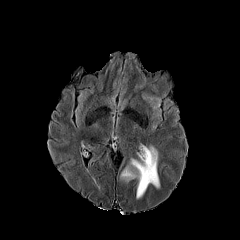
FLAIR MR image.
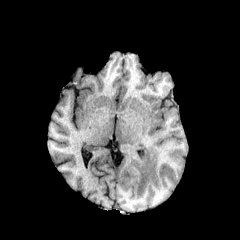
T1-weighted MR image of the same slice.
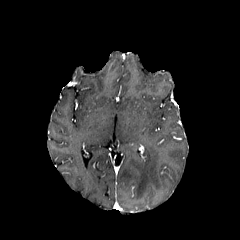
Post-contrast T1-weighted magnetic resonance.
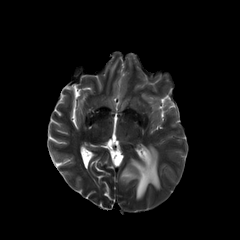
T2-weighted MR image of the same slice.
Head.
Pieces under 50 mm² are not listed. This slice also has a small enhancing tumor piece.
The peritumoral edema is located at [x1=121, y1=146, x2=159, y2=198].